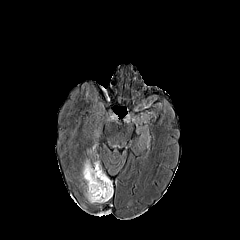
FLAIR MRI.
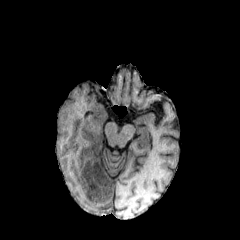
Same slice, T1-weighted MRI.
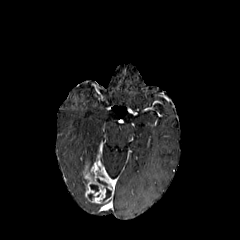
Post-contrast T1-weighted magnetic resonance of the same slice.
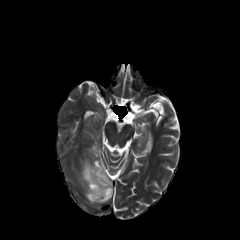
T2-weighted magnetic resonance of the same slice.
240x240; Axial slice; Head
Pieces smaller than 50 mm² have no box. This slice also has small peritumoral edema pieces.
Segmented structures:
• necrotic tumor core: <box>90,184,98,191</box>, <box>103,187,111,201</box>
• enhancing tumor: <box>82,159,113,203</box>